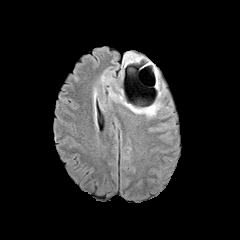
FLAIR MR.
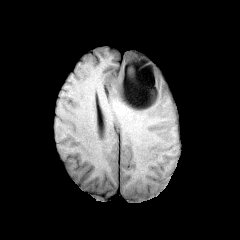
T1-weighted magnetic resonance.
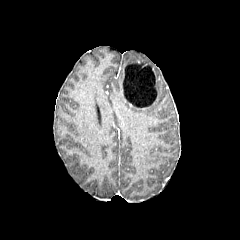
Post-contrast T1-weighted MR of the same slice.
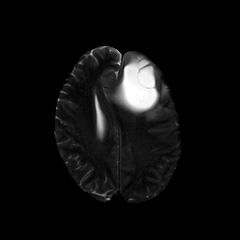
T2-weighted MR.
Brain. Axial slice. 240x240.
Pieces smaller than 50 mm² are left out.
{
  "peritumoral_edema": [
    "bbox=[111, 93, 160, 117]",
    "bbox=[124, 52, 149, 66]"
  ],
  "enhancing_tumor": [
    "bbox=[120, 85, 132, 106]"
  ],
  "necrotic_tumor_core": [
    "bbox=[123, 61, 157, 108]"
  ]
}